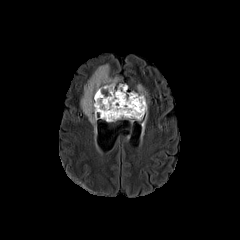
FLAIR MR image.
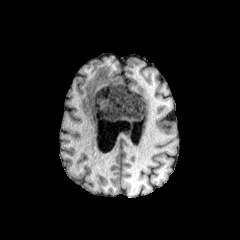
T1-weighted MR image.
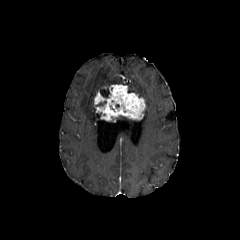
Post-contrast T1-weighted magnetic resonance.
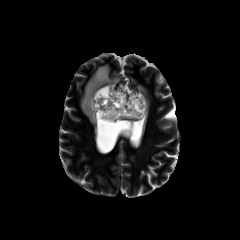
T2-weighted magnetic resonance of the same slice.
Axial view
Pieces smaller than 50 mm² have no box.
The enhancing tumor lies within region(94, 84, 146, 121). The largest necrotic tumor core region appears at region(99, 88, 109, 97). The 2 largest peritumoral edema regions are located at region(132, 84, 148, 128); region(80, 64, 119, 130).